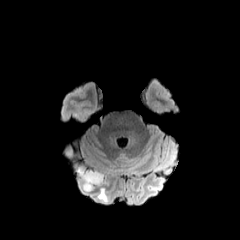
FLAIR magnetic resonance.
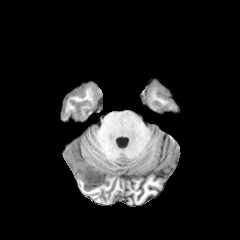
Same slice, T1-weighted MR.
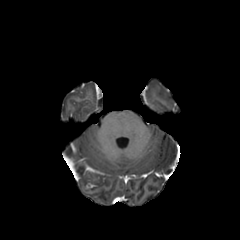
Post-contrast T1-weighted MRI of the same slice.
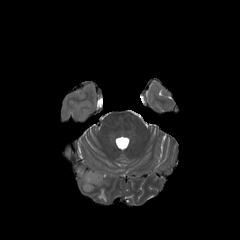
T2-weighted MR image.
Brain; Axial slice
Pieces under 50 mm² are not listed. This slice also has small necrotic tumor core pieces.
enhancing tumor = [83,165,103,188]
peritumoral edema = [98,188,108,202], [75,166,94,191]